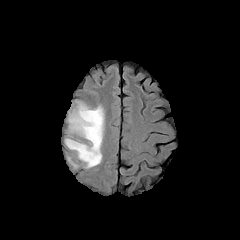
FLAIR magnetic resonance.
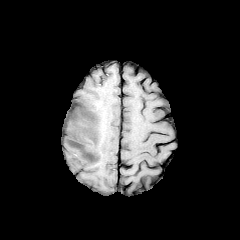
T1-weighted MRI.
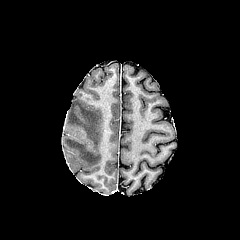
Post-contrast T1-weighted MR.
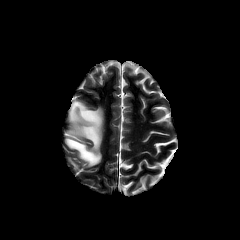
T2-weighted magnetic resonance of the same slice.
240x240 px, Axial slice, Brain
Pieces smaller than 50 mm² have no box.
enhancing tumor: bounding box (68,131,79,140)
peritumoral edema: bounding box (65,100,104,167)